Image width 240 mm, 1.00 mm slice spacing; Axial slice; Brain
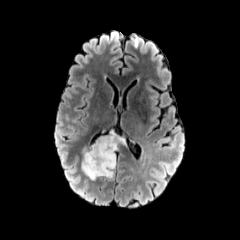
FLAIR MR image.
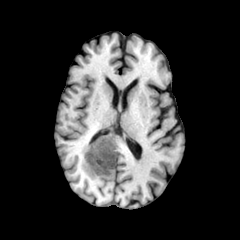
T1-weighted MR of the same slice.
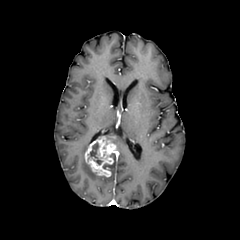
Post-contrast T1-weighted MR of the same slice.
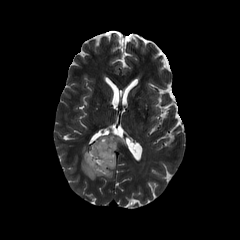
T2-weighted magnetic resonance of the same slice.
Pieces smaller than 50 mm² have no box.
The largest necrotic tumor core region is located at [90, 142, 101, 164]. The 3 largest peritumoral edema regions are located at [110, 132, 121, 150], [106, 157, 116, 178], [82, 149, 104, 179]. The enhancing tumor lies within [84, 135, 117, 176].